Axial plane | Image width 240 mm, 1.00 mm slice spacing | Head
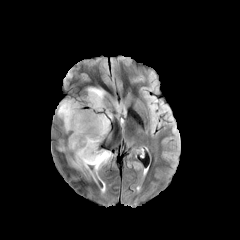
FLAIR magnetic resonance.
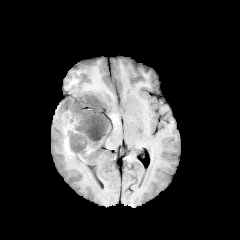
Same slice, T1-weighted MR.
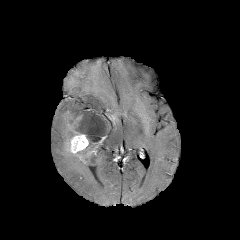
Post-contrast T1-weighted MR of the same slice.
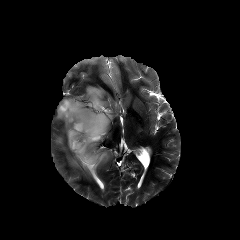
T2-weighted MR.
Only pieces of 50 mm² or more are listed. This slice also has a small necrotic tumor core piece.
The largest peritumoral edema region lies within (57, 87, 116, 177). The enhancing tumor appears at (67, 125, 88, 153).